Slice 78 of 155 | 240x240 | Head
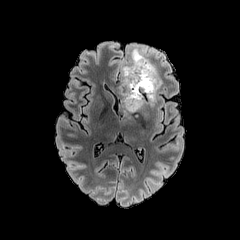
FLAIR MR.
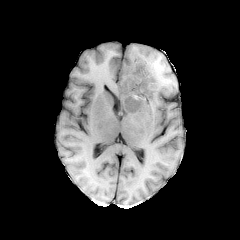
T1-weighted MR of the same slice.
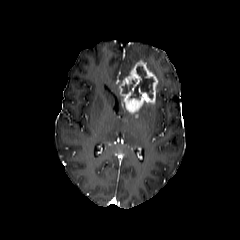
Post-contrast T1-weighted MR image.
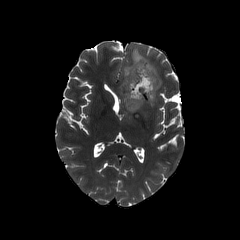
T2-weighted magnetic resonance.
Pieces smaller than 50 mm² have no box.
The enhancing tumor is bounded by 119, 60, 158, 113. The largest peritumoral edema region is bounded by 121, 45, 162, 101. 2 necrotic tumor core regions are bounded by 122, 80, 135, 93; 130, 66, 154, 99.